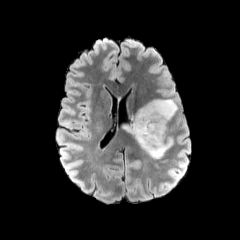
FLAIR MRI.
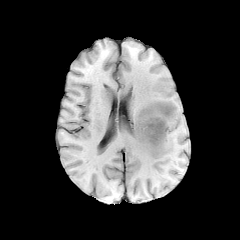
T1-weighted MR.
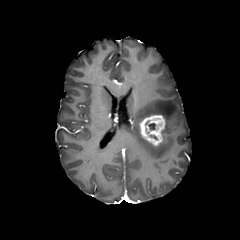
Post-contrast T1-weighted MR image of the same slice.
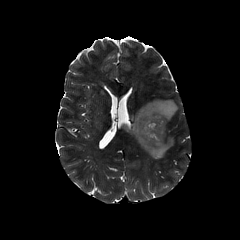
Same slice, T2-weighted MR image.
Head
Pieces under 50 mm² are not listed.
{
  "enhancing_tumor": [
    "(left=139, top=114, right=165, bottom=145)"
  ],
  "necrotic_tumor_core": [
    "(left=143, top=118, right=163, bottom=140)"
  ],
  "peritumoral_edema": [
    "(left=121, top=99, right=178, bottom=159)"
  ]
}